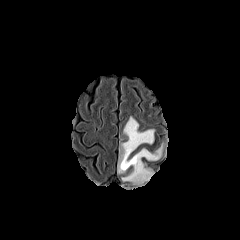
FLAIR MR.
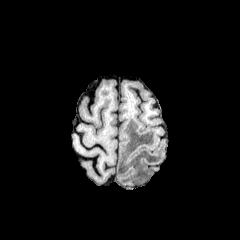
T1-weighted MR image of the same slice.
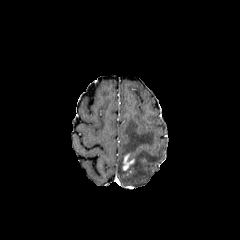
Post-contrast T1-weighted MR image of the same slice.
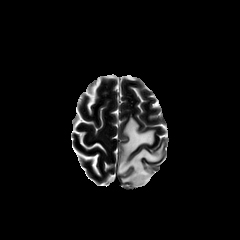
T2-weighted MR image of the same slice.
Axial view | 240x240
{
  "enhancing_tumor": [
    "(x1=122, y1=153, x2=134, y2=170)"
  ],
  "peritumoral_edema": [
    "(x1=117, y1=116, x2=154, y2=174)",
    "(x1=121, y1=143, x2=164, y2=185)"
  ]
}